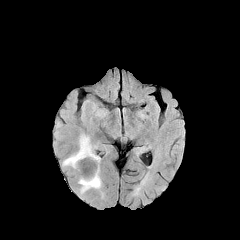
FLAIR MRI.
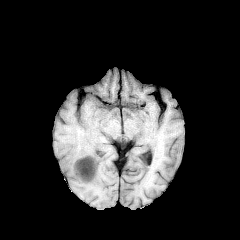
T1-weighted MRI.
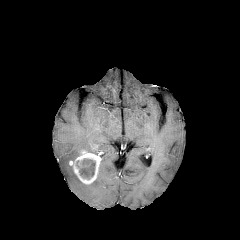
Same slice, post-contrast T1-weighted magnetic resonance.
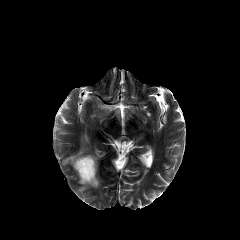
T2-weighted MR image.
240x240, Axial plane
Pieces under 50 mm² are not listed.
peritumoral_edema:
  - [78, 171, 101, 193]
  - [62, 135, 93, 166]
necrotic_tumor_core:
  - [79, 159, 95, 178]
enhancing_tumor:
  - [69, 151, 100, 184]